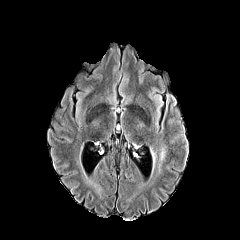
FLAIR magnetic resonance.
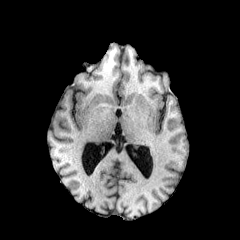
T1-weighted MR.
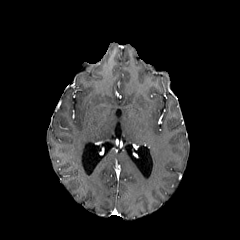
Same slice, post-contrast T1-weighted magnetic resonance.
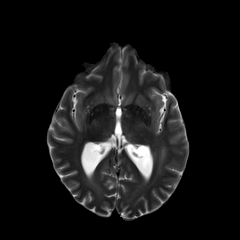
T2-weighted MRI of the same slice.
Axial view | 240x240 px
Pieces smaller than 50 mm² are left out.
The largest peritumoral edema region lies within x1=159, y1=147, x2=165, y2=162.